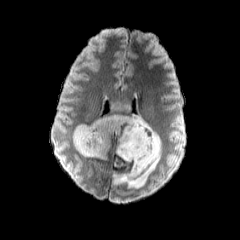
FLAIR MR.
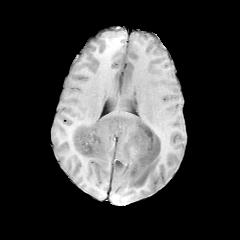
T1-weighted MRI of the same slice.
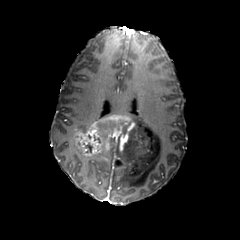
Post-contrast T1-weighted MRI.
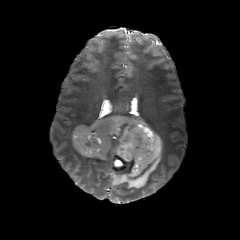
T2-weighted MR image.
Head
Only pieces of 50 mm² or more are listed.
necrotic tumor core: (118, 121, 129, 141)
peritumoral edema: (100, 152, 109, 160), (76, 124, 88, 130), (103, 99, 161, 188)
enhancing tumor: (72, 114, 137, 158), (114, 167, 121, 180)